FLAIR MR.
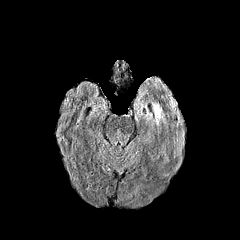
T1-weighted magnetic resonance.
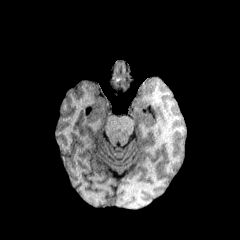
Post-contrast T1-weighted MRI.
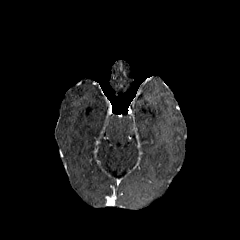
T2-weighted magnetic resonance.
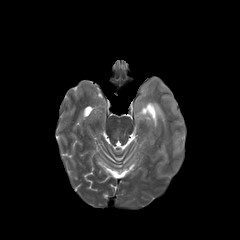
Brain. Axial view.
The peritumoral edema lies within {"x1": 153, "y1": 103, "x2": 165, "y2": 123}.